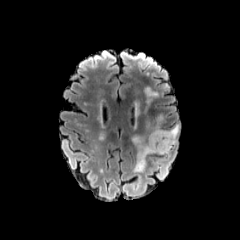
FLAIR MR image.
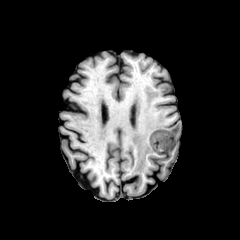
Same slice, T1-weighted MRI.
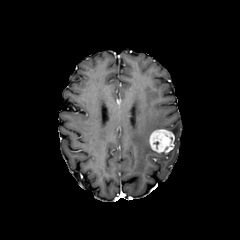
Same slice, post-contrast T1-weighted magnetic resonance.
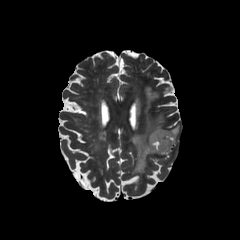
T2-weighted MRI of the same slice.
Axial view
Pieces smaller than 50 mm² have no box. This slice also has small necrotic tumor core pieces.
2 peritumoral edema regions are located at (132,85,169,172), (168,124,179,145). The enhancing tumor appears at (149,129,174,153).